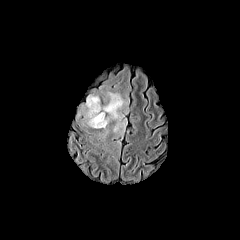
FLAIR MRI.
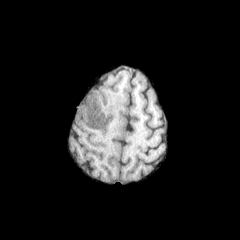
T1-weighted MR.
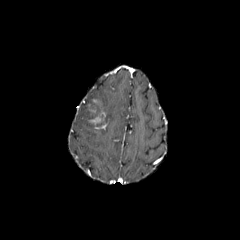
Same slice, post-contrast T1-weighted magnetic resonance.
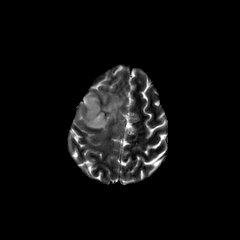
Same slice, T2-weighted MRI.
Head
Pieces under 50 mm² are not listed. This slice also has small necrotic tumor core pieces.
enhancing tumor — 88, 104, 96, 114; 88, 110, 107, 129
peritumoral edema — 77, 92, 127, 132